Slice 99 of 155; 240x240 px
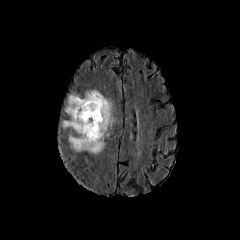
FLAIR MRI.
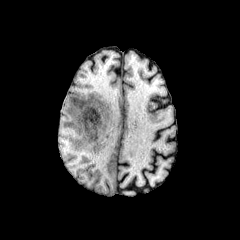
T1-weighted magnetic resonance.
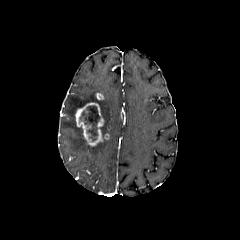
Post-contrast T1-weighted MR image.
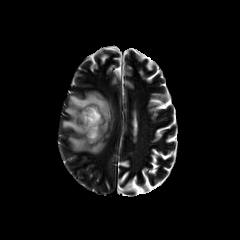
T2-weighted MR image of the same slice.
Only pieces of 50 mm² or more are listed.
The largest necrotic tumor core region is at 79 105 100 140. The largest enhancing tumor region appears at 75 102 109 146. The peritumoral edema is bounded by 62 90 113 154.